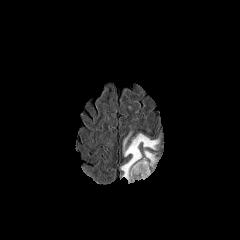
FLAIR magnetic resonance.
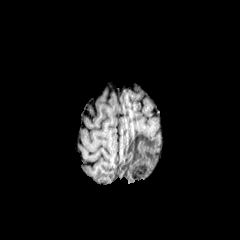
T1-weighted MR.
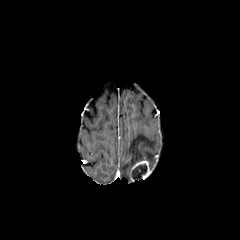
Same slice, post-contrast T1-weighted magnetic resonance.
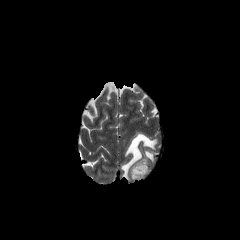
Same slice, T2-weighted magnetic resonance.
240x240 px | Brain
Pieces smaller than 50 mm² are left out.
peritumoral edema at (121, 130, 159, 182), (144, 150, 157, 167)
enhancing tumor at (129, 160, 150, 181)
necrotic tumor core at (131, 164, 147, 179)